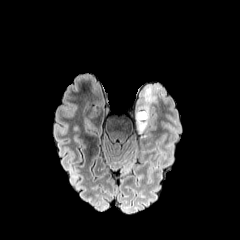
FLAIR MR.
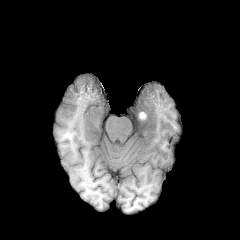
Same slice, T1-weighted MRI.
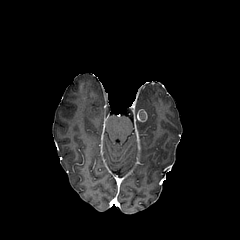
Post-contrast T1-weighted MRI.
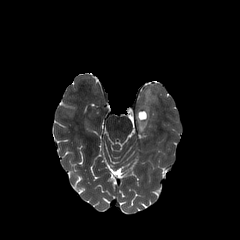
T2-weighted magnetic resonance of the same slice.
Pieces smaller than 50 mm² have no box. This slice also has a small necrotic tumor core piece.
peritumoral edema = (x1=144, y1=89, x2=155, y2=102), (x1=136, y1=106, x2=149, y2=132)
enhancing tumor = (x1=137, y1=109, x2=147, y2=121)